FLAIR MR.
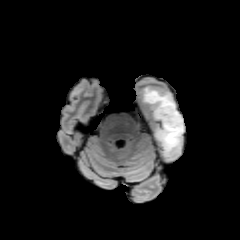
T1-weighted magnetic resonance.
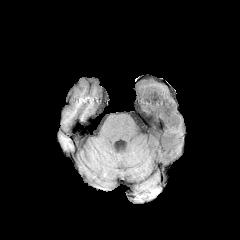
Post-contrast T1-weighted MR.
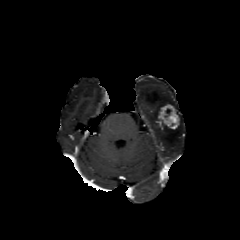
T2-weighted MRI.
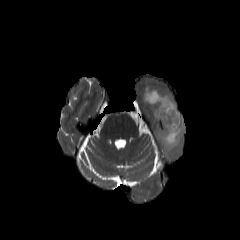
Axial view
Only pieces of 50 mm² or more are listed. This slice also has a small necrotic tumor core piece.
The enhancing tumor is at (x1=158, y1=104, x2=179, y2=129). The 2 largest peritumoral edema regions are bounded by (x1=155, y1=114, x2=184, y2=155), (x1=143, y1=86, x2=176, y2=120).